Image width 240 mm, 1.00 mm slice spacing. 240x240.
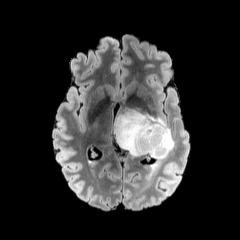
FLAIR MR.
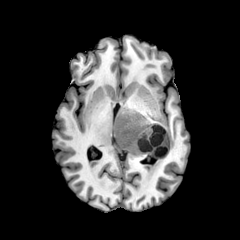
T1-weighted magnetic resonance.
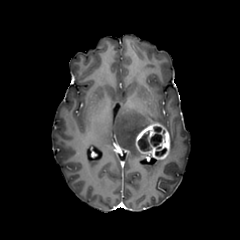
Post-contrast T1-weighted MR.
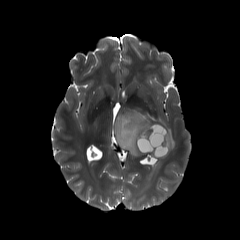
T2-weighted MR image.
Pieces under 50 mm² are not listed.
Annotated regions:
• peritumoral edema: [114, 110, 174, 156], [151, 158, 165, 170]
• enhancing tumor: [135, 123, 170, 159]
• necrotic tumor core: [150, 126, 162, 146], [138, 131, 151, 151], [155, 148, 166, 156]